FLAIR MR image.
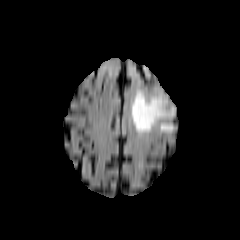
T1-weighted MR.
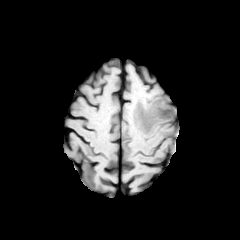
Post-contrast T1-weighted MR image.
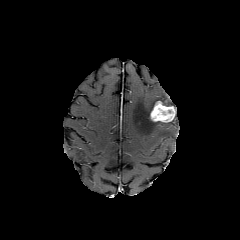
T2-weighted MRI.
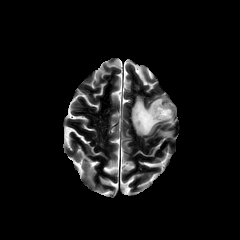
240x240
enhancing_tumor:
  - x1=150 y1=100 x2=175 y2=122
peritumoral_edema:
  - x1=131 y1=92 x2=172 y2=135